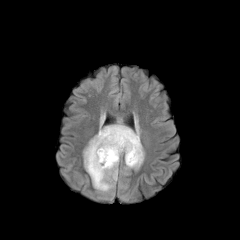
FLAIR magnetic resonance.
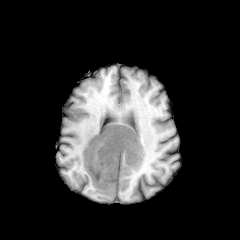
T1-weighted MR image.
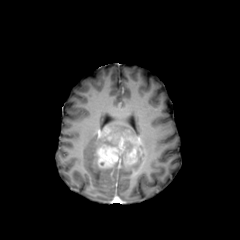
Same slice, post-contrast T1-weighted MR image.
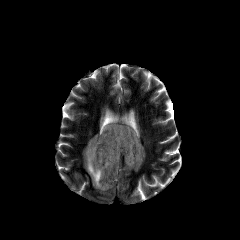
T2-weighted MR.
Image size 240x240; Brain
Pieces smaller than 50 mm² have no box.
peritumoral edema: (83, 134, 119, 192), (124, 143, 144, 170), (106, 119, 139, 136) | necrotic tumor core: (122, 141, 133, 153) | enhancing tumor: (97, 127, 142, 168)